Axial view. Image width 240 mm. Head.
FLAIR MR image.
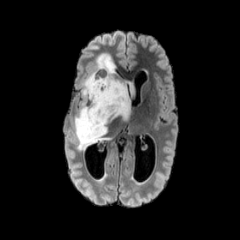
T1-weighted MR.
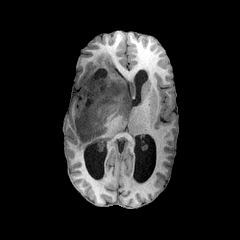
Post-contrast T1-weighted magnetic resonance.
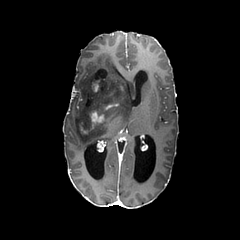
T2-weighted MRI.
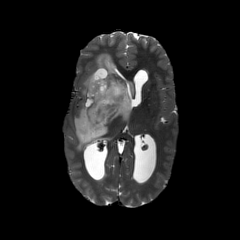
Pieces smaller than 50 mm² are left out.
Annotated regions:
- peritumoral edema: l=74, t=53, r=134, b=150
- enhancing tumor: l=92, t=69, r=107, b=91; l=79, t=122, r=89, b=134; l=91, t=111, r=104, b=128
- necrotic tumor core: l=95, t=69, r=106, b=78